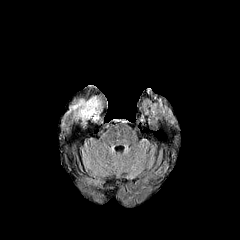
FLAIR magnetic resonance.
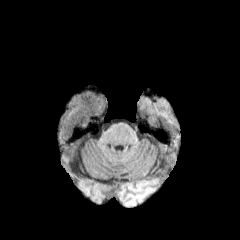
Same slice, T1-weighted magnetic resonance.
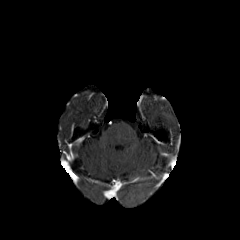
Post-contrast T1-weighted magnetic resonance of the same slice.
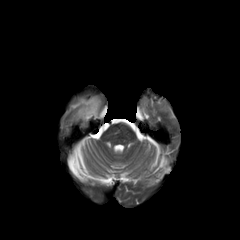
T2-weighted magnetic resonance.
Brain; 240x240; Axial slice
<segmentation>
  <peritumoral_edema>box(71, 95, 103, 122)</peritumoral_edema>
</segmentation>